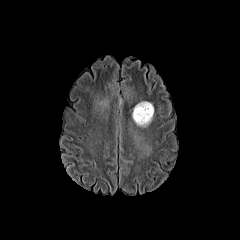
FLAIR MRI.
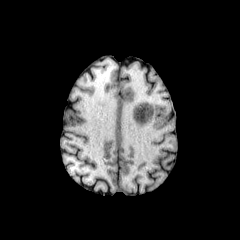
T1-weighted magnetic resonance.
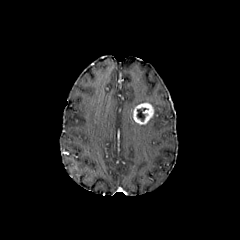
Post-contrast T1-weighted MR.
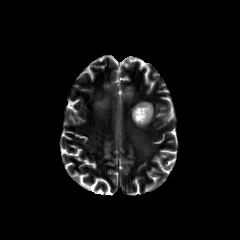
T2-weighted MR image.
Brain, 240x240
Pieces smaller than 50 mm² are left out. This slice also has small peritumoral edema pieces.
necrotic tumor core: bounding box (x1=137, y1=108, x2=146, y2=121)
enhancing tumor: bounding box (x1=133, y1=102, x2=153, y2=124)